Axial view, Head
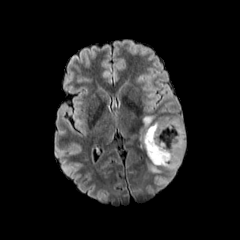
FLAIR MR.
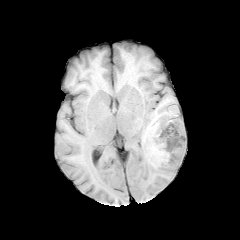
T1-weighted MRI of the same slice.
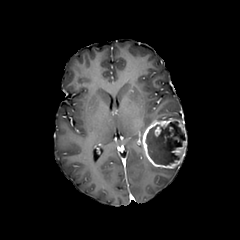
Post-contrast T1-weighted MRI.
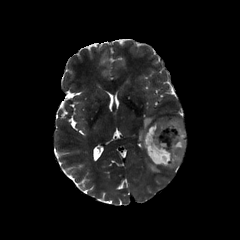
T2-weighted MR.
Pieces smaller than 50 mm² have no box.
enhancing tumor = bbox(142, 118, 186, 168)
necrotic tumor core = bbox(145, 121, 185, 165)
peritumoral edema = bbox(148, 163, 178, 172); bbox(140, 116, 153, 150)